FLAIR MR image.
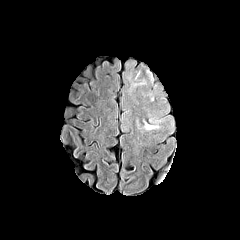
T1-weighted magnetic resonance.
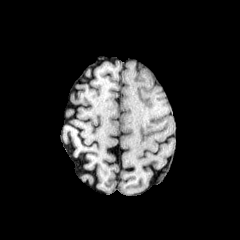
Post-contrast T1-weighted MR.
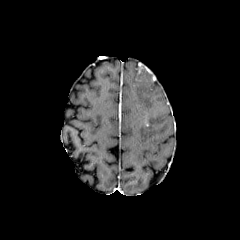
T2-weighted magnetic resonance.
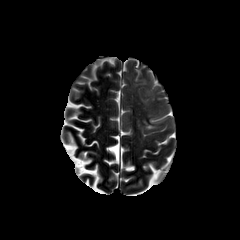
Axial plane | 240x240 px
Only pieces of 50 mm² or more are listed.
<segmentation>
  <peritumoral_edema>145 123 157 129</peritumoral_edema>
</segmentation>